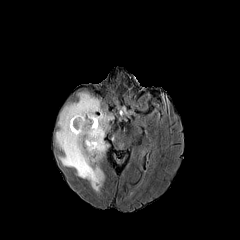
FLAIR MR image.
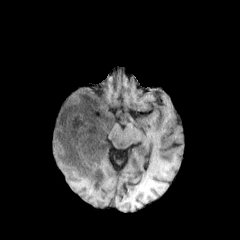
T1-weighted MR of the same slice.
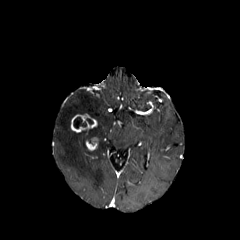
Post-contrast T1-weighted MR.
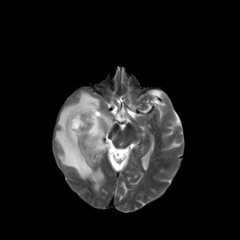
T2-weighted MR of the same slice.
Head | Axial plane
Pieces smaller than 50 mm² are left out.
enhancing tumor: x1=71, y1=113, x2=97, y2=132; x1=85, y1=137, x2=98, y2=150
peritumoral edema: x1=55, y1=92, x2=113, y2=193
necrotic tumor core: x1=73, y1=117, x2=86, y2=128